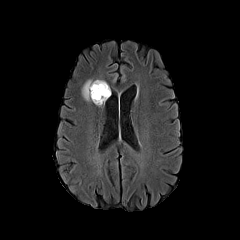
FLAIR MR.
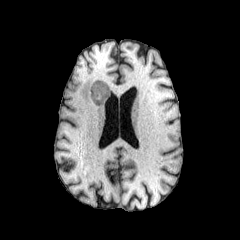
T1-weighted MRI of the same slice.
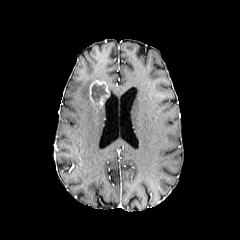
Same slice, post-contrast T1-weighted magnetic resonance.
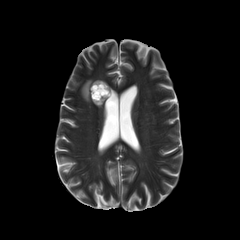
T2-weighted MR image of the same slice.
Brain
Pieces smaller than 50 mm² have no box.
- necrotic tumor core: l=91, t=84, r=107, b=101
- peritumoral edema: l=82, t=79, r=93, b=101
- enhancing tumor: l=89, t=80, r=109, b=105